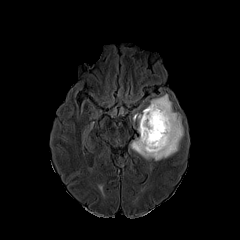
FLAIR MR.
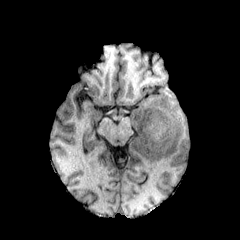
T1-weighted MR.
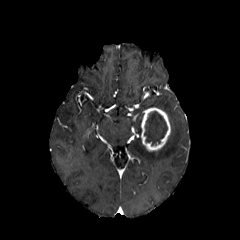
Same slice, post-contrast T1-weighted MR.
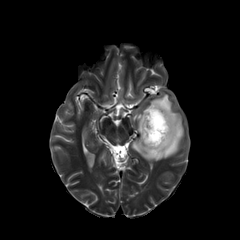
T2-weighted MR.
Axial view
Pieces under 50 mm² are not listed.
The peritumoral edema is located at 130:87:184:160. The largest enhancing tumor region is located at 141:107:170:151. The necrotic tumor core is located at 144:111:167:145.